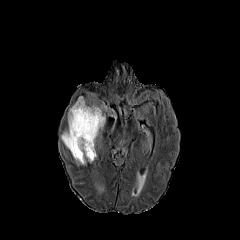
FLAIR MR image.
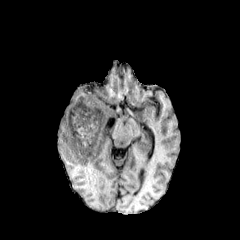
Same slice, T1-weighted MR.
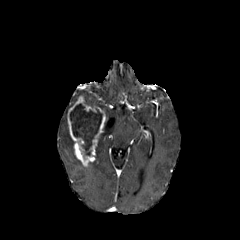
Same slice, post-contrast T1-weighted magnetic resonance.
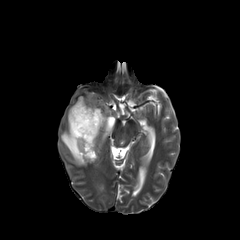
Same slice, T2-weighted MR image.
Axial slice | Brain
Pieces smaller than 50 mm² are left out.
Segmented structures:
• enhancing tumor: rect(67, 96, 106, 166)
• peritumoral edema: rect(60, 129, 82, 165)
• necrotic tumor core: rect(70, 103, 102, 155)